FLAIR MR image.
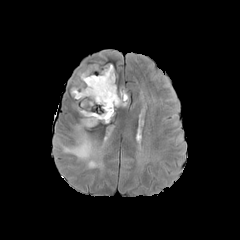
T1-weighted MR image.
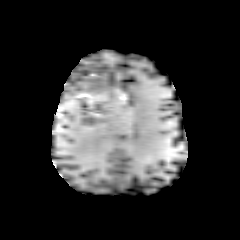
Post-contrast T1-weighted magnetic resonance.
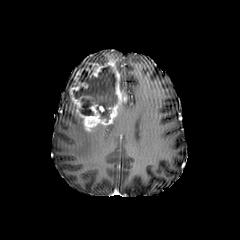
T2-weighted MR image.
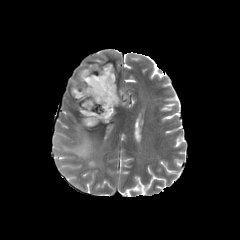
Head | 240x240 px | Axial view
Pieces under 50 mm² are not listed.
necrotic tumor core — box(73, 65, 116, 122)
enhancing tumor — box(69, 63, 126, 129)
peritumoral edema — box(61, 120, 102, 168); box(121, 90, 128, 107)